FLAIR MR image.
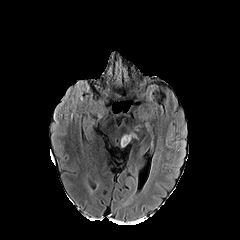
T1-weighted MRI.
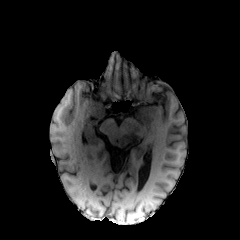
Post-contrast T1-weighted MR.
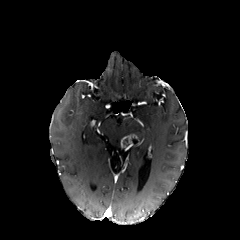
T2-weighted MR.
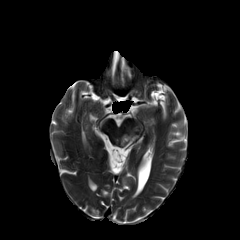
Head
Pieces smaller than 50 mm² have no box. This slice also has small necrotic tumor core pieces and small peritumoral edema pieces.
The enhancing tumor is bounded by [120,133,137,148].